FLAIR MRI.
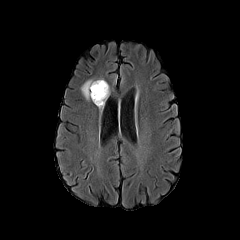
T1-weighted MR image.
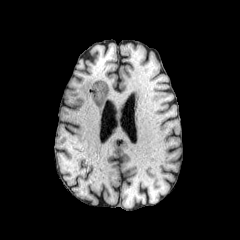
Post-contrast T1-weighted magnetic resonance.
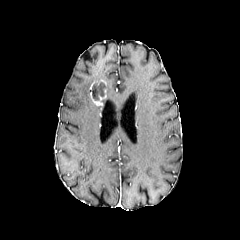
T2-weighted MRI.
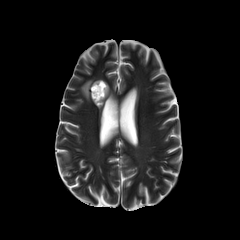
Brain | Image size 240x240
enhancing tumor = {"x1": 89, "y1": 79, "x2": 107, "y2": 89}, {"x1": 90, "y1": 89, "x2": 107, "y2": 105}
peritumoral edema = {"x1": 81, "y1": 79, "x2": 93, "y2": 100}, {"x1": 97, "y1": 85, "x2": 109, "y2": 109}
necrotic tumor core = {"x1": 90, "y1": 82, "x2": 107, "y2": 100}